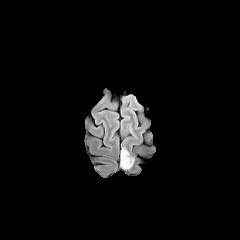
FLAIR MR image.
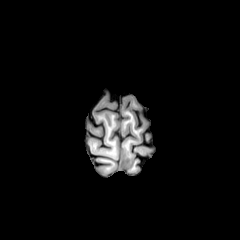
T1-weighted MR image of the same slice.
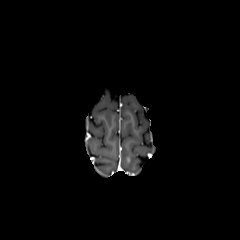
Post-contrast T1-weighted MRI.
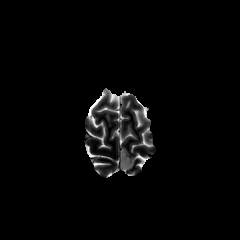
Same slice, T2-weighted MR image.
Brain
- peritumoral edema: x1=121 y1=146 x2=134 y2=169
- enhancing tumor: x1=125 y1=156 x2=130 y2=166